FLAIR magnetic resonance.
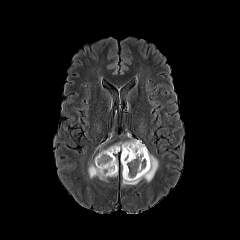
T1-weighted magnetic resonance.
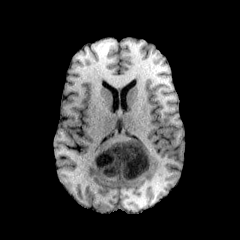
Post-contrast T1-weighted MR.
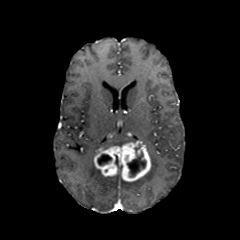
T2-weighted magnetic resonance.
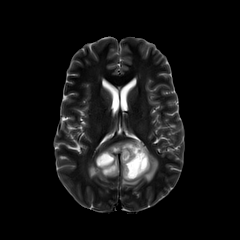
Brain. 240x240. Axial slice.
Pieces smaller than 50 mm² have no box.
{"peritumoral_edema": ["[x1=121, y1=151, x2=158, y2=186]", "[x1=112, y1=138, x2=140, y2=146]", "[x1=88, y1=159, x2=107, y2=181]"], "enhancing_tumor": ["[x1=94, y1=141, x2=151, y2=181]"], "necrotic_tumor_core": ["[x1=97, y1=154, x2=112, y2=165]", "[x1=127, y1=152, x2=146, y2=177]"]}